Brain; Slice 78 of 155
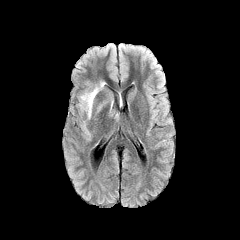
FLAIR MR image.
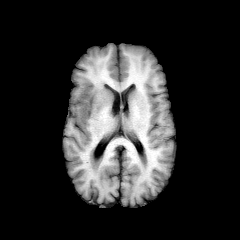
Same slice, T1-weighted MR image.
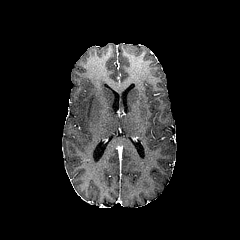
Post-contrast T1-weighted MR image.
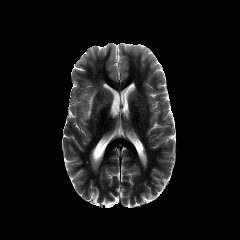
T2-weighted MRI.
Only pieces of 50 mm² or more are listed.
peritumoral edema at l=79, t=82, r=104, b=119